240x240 px
FLAIR MR image.
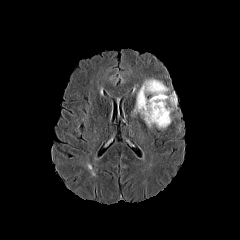
T1-weighted magnetic resonance.
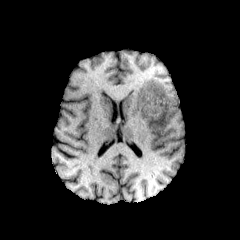
Post-contrast T1-weighted MR image.
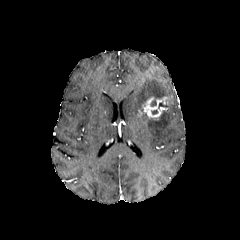
T2-weighted MR.
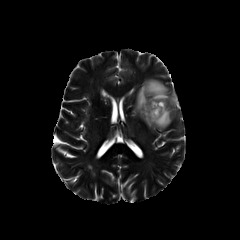
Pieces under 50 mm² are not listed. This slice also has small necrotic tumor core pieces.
Annotated regions:
* peritumoral edema: <bbox>131, 78, 177, 129</bbox>
* enhancing tumor: <bbox>138, 96, 172, 120</bbox>